Axial plane | Slice 104 of 155
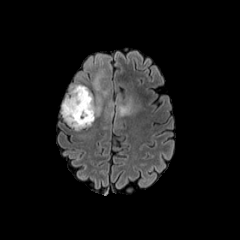
FLAIR MR image.
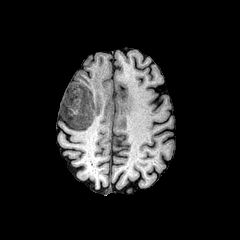
Same slice, T1-weighted MR image.
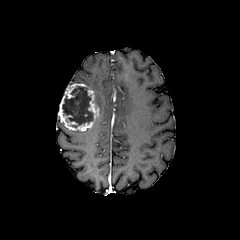
Post-contrast T1-weighted MR of the same slice.
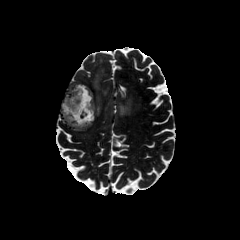
T2-weighted MRI.
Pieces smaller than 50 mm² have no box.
peritumoral_edema:
  - 116,97,133,116
  - 92,57,108,113
  - 105,96,113,119
enhancing_tumor:
  - 58,83,99,130
necrotic_tumor_core:
  - 62,86,93,125